FLAIR MRI.
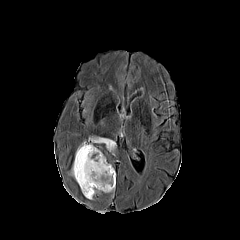
T1-weighted MRI.
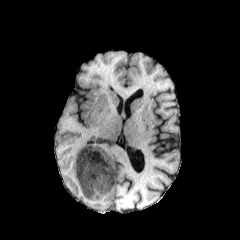
Post-contrast T1-weighted magnetic resonance.
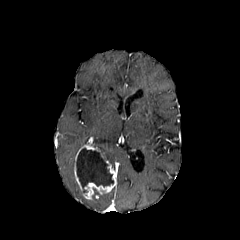
T2-weighted MRI.
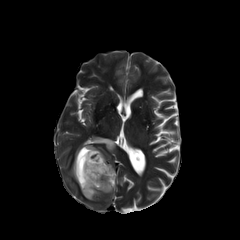
240x240 px; Axial plane
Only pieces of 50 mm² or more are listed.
{
  "enhancing_tumor": [
    "region(74, 143, 115, 199)"
  ],
  "peritumoral_edema": [
    "region(93, 137, 115, 154)"
  ],
  "necrotic_tumor_core": [
    "region(76, 148, 113, 188)"
  ]
}